Axial plane, Slice 88/155, 240x240
FLAIR MR image.
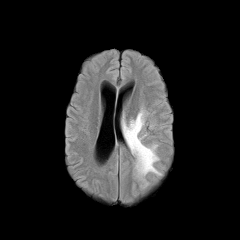
T1-weighted MR image.
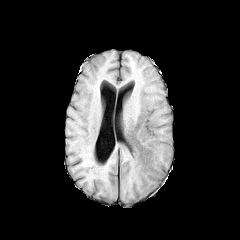
Post-contrast T1-weighted MRI.
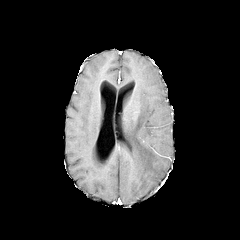
T2-weighted MR.
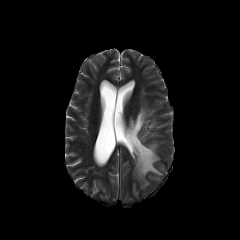
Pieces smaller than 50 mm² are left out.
The largest peritumoral edema region is bounded by x1=123, y1=109, x2=161, y2=176.